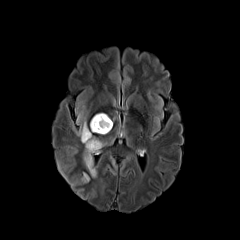
FLAIR MR.
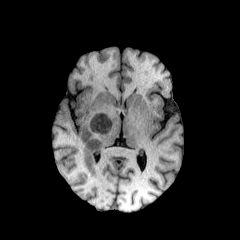
T1-weighted MR.
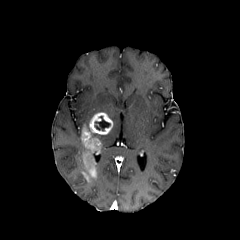
Post-contrast T1-weighted MR.
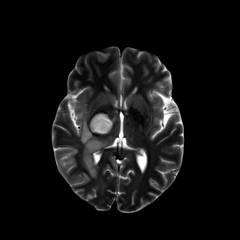
T2-weighted magnetic resonance of the same slice.
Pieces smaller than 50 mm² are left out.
The largest necrotic tumor core region appears at 94 116 110 130. The largest peritumoral edema region lies within 74 111 87 136. The largest enhancing tumor region is at 80 112 112 177.